FLAIR MR.
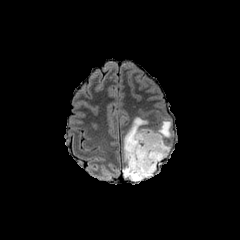
T1-weighted MRI.
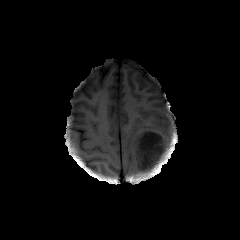
Post-contrast T1-weighted MR image.
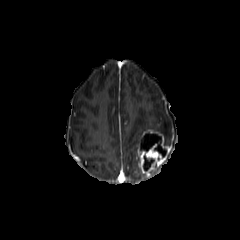
T2-weighted MRI.
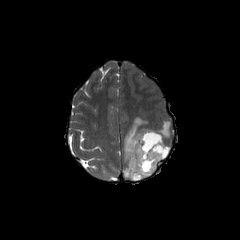
Image size 240x240; Axial view
<segmentation>
  <necrotic_tumor_core>[x1=143, y1=155, x2=154, y2=170], [x1=140, y1=133, x2=166, y2=157]</necrotic_tumor_core>
  <enhancing_tumor>[x1=136, y1=129, x2=171, y2=177]</enhancing_tumor>
  <peritumoral_edema>[x1=154, y1=120, x2=172, y2=144], [x1=123, y1=117, x2=149, y2=181]</peritumoral_edema>
</segmentation>